Image covers 240 mm x 240 mm. Slice 46/155. 240x240.
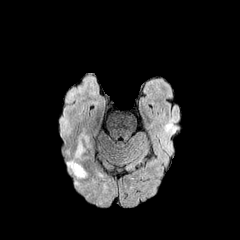
FLAIR MR.
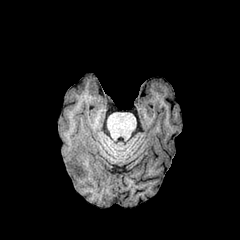
T1-weighted MR image.
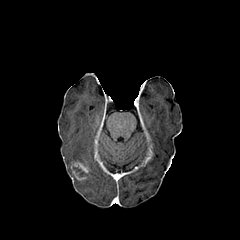
Post-contrast T1-weighted magnetic resonance.
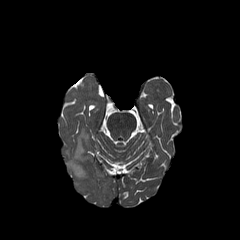
T2-weighted MR image.
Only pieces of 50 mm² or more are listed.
{"enhancing_tumor": ["[x1=70, y1=161, x2=88, y2=180]"], "necrotic_tumor_core": ["[x1=73, y1=167, x2=84, y2=176]"], "peritumoral_edema": ["[x1=66, y1=137, x2=90, y2=187]"]}